FLAIR MRI.
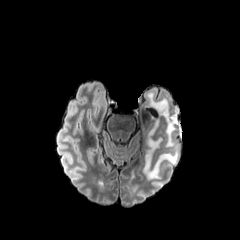
T1-weighted MRI.
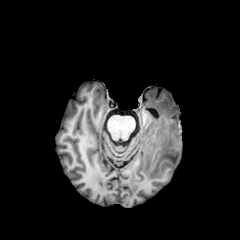
Post-contrast T1-weighted MRI.
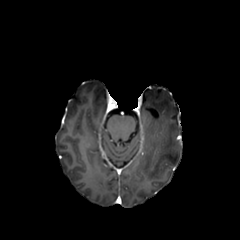
T2-weighted MR image.
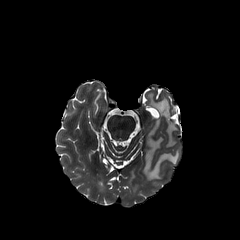
Axial plane.
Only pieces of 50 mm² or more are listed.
The largest peritumoral edema region is bounded by 143 92 179 179.